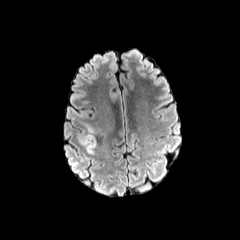
FLAIR MR image.
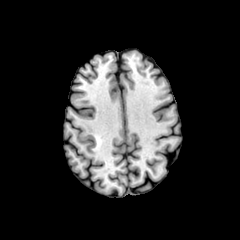
T1-weighted magnetic resonance.
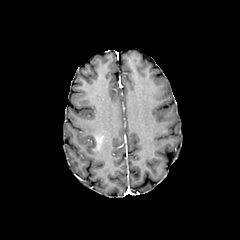
Post-contrast T1-weighted MRI.
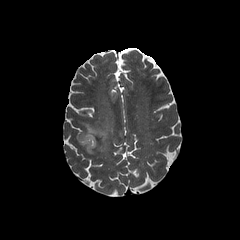
T2-weighted MR.
Head | 240x240
peritumoral edema: l=80, t=125, r=96, b=154